FLAIR MR.
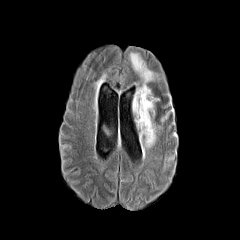
T1-weighted magnetic resonance.
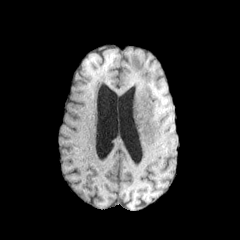
Post-contrast T1-weighted magnetic resonance.
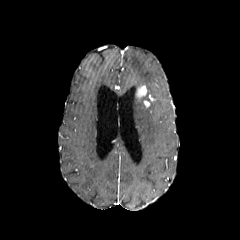
T2-weighted MR.
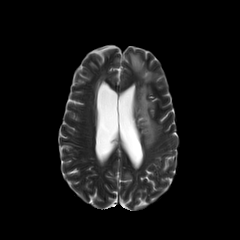
Axial view, 240x240 px
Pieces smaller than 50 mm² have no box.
The 2 largest peritumoral edema regions are bounded by box(132, 93, 155, 157); box(130, 53, 153, 85). The largest enhancing tumor region lies within box(136, 85, 147, 99).